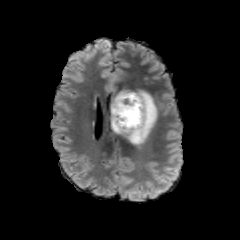
FLAIR MRI.
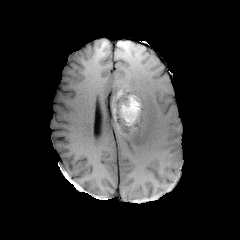
T1-weighted MR image.
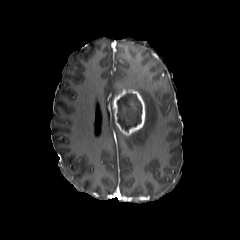
Post-contrast T1-weighted MR of the same slice.
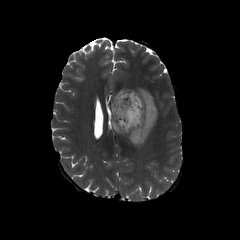
Same slice, T2-weighted MR image.
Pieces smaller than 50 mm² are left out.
Findings:
• enhancing tumor: 113:90:145:135
• peritumoral edema: 111:89:157:144
• necrotic tumor core: 117:93:141:131